Slice 114/155
FLAIR MRI.
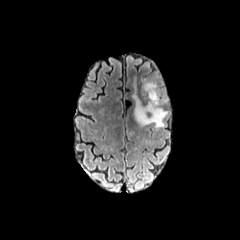
T1-weighted MRI.
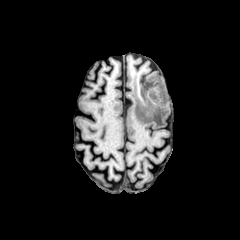
Post-contrast T1-weighted MR.
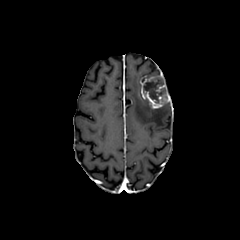
T2-weighted MR image.
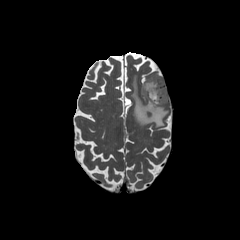
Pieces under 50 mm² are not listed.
peritumoral_edema:
  - (132, 78, 168, 127)
enhancing_tumor:
  - (141, 75, 169, 109)
necrotic_tumor_core:
  - (143, 80, 165, 102)